Slice 108 of 155 | Axial view | Brain
FLAIR MR image.
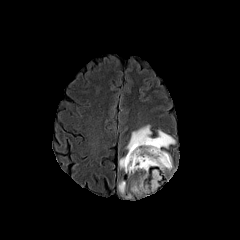
T1-weighted MR.
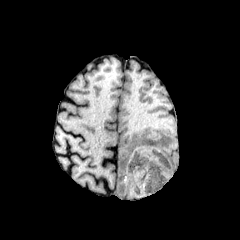
Post-contrast T1-weighted MR.
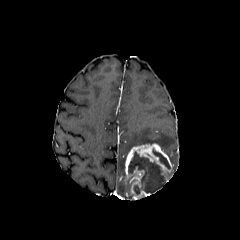
T2-weighted MRI.
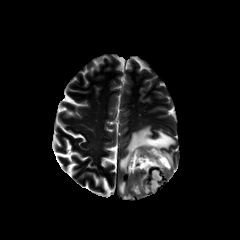
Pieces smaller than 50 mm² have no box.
{"peritumoral_edema": ["(118, 181, 125, 194)", "(126, 125, 175, 152)", "(119, 155, 126, 170)"], "enhancing_tumor": ["(125, 143, 173, 198)"], "necrotic_tumor_core": ["(134, 185, 140, 194)", "(128, 152, 165, 192)", "(153, 150, 170, 168)"]}